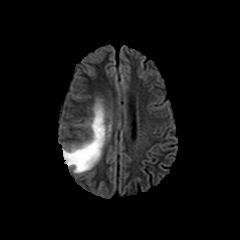
FLAIR magnetic resonance.
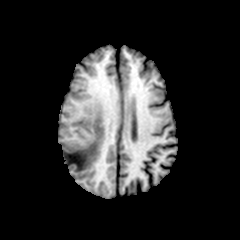
T1-weighted MRI.
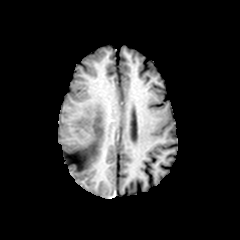
Same slice, post-contrast T1-weighted MR image.
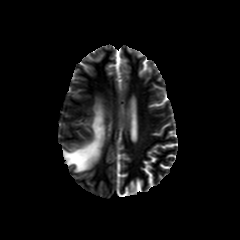
Same slice, T2-weighted MRI.
peritumoral edema = box(63, 101, 105, 173)